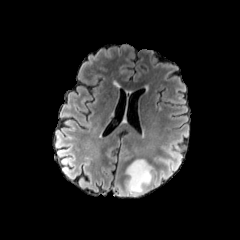
FLAIR MRI.
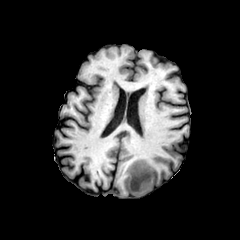
T1-weighted MRI.
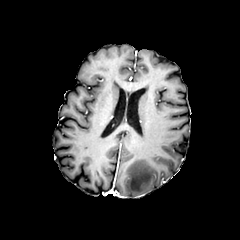
Post-contrast T1-weighted MR.
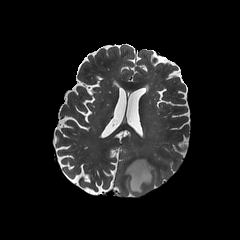
T2-weighted MRI.
Head; Axial slice
Annotated regions:
* peritumoral edema: (125,159,153,196)